Axial slice.
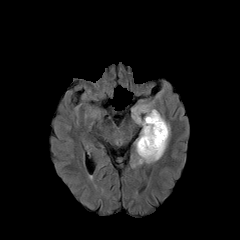
FLAIR MR.
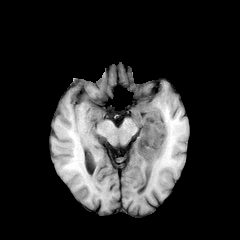
T1-weighted MRI.
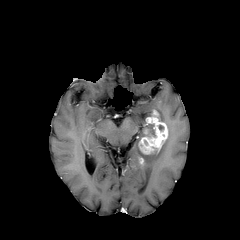
Post-contrast T1-weighted MRI.
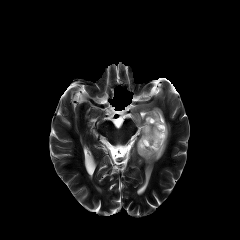
T2-weighted MRI.
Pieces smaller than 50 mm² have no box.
enhancing_tumor:
  - (138, 110, 167, 154)
necrotic_tumor_core:
  - (147, 124, 155, 136)
peritumoral_edema:
  - (131, 104, 169, 168)